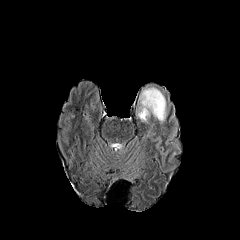
FLAIR MR.
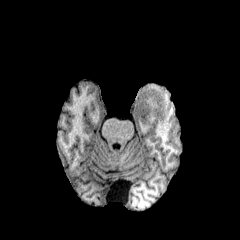
T1-weighted magnetic resonance.
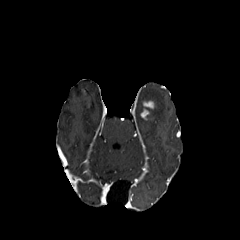
Post-contrast T1-weighted MR.
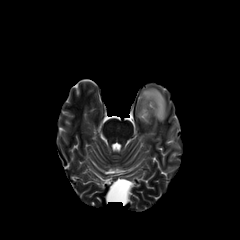
T2-weighted MR.
Axial slice | Head
enhancing tumor: bounding box box=[140, 101, 154, 119]
peritumoral edema: bounding box box=[136, 86, 168, 123]